Head; Axial view; Slice 126 of 155
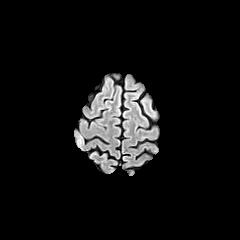
FLAIR MRI.
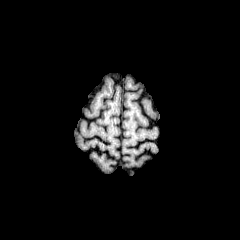
T1-weighted MR image.
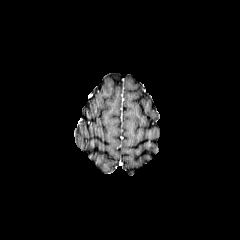
Same slice, post-contrast T1-weighted MRI.
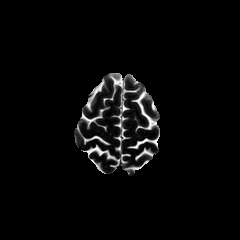
T2-weighted MRI.
peritumoral edema: bbox=[77, 137, 83, 146]